Head. Axial slice.
FLAIR MRI.
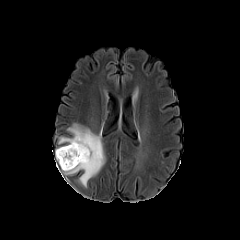
T1-weighted MR.
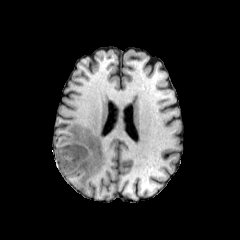
Post-contrast T1-weighted MRI.
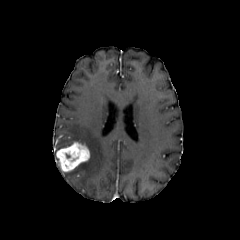
T2-weighted magnetic resonance.
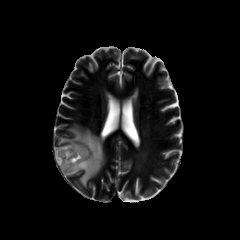
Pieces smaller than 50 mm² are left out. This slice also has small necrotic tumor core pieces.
peritumoral edema — [x1=56, y1=124, x2=105, y2=187]
enhancing tumor — [x1=56, y1=141, x2=89, y2=172]